FLAIR MR.
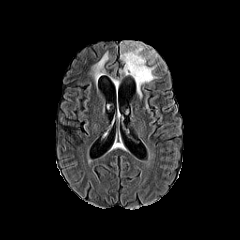
T1-weighted MR image.
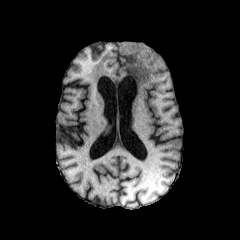
Post-contrast T1-weighted MR image.
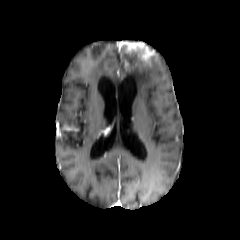
T2-weighted MR image.
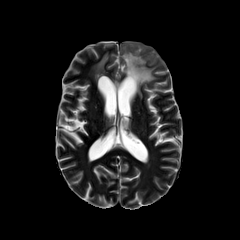
Brain.
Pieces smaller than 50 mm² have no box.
<segmentation>
  <peritumoral_edema>{"x1": 93, "y1": 52, "x2": 109, "y2": 80}, {"x1": 120, "y1": 46, "x2": 156, "y2": 97}</peritumoral_edema>
  <enhancing_tumor>{"x1": 119, "y1": 41, "x2": 157, "y2": 64}</enhancing_tumor>
</segmentation>